FLAIR MR.
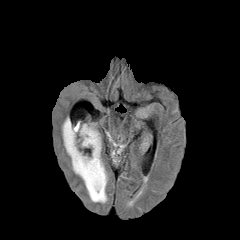
T1-weighted MRI.
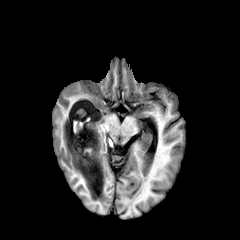
Post-contrast T1-weighted MR image.
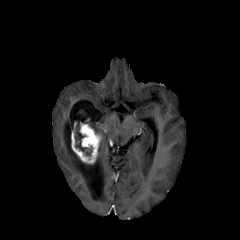
T2-weighted MRI.
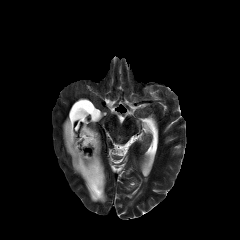
Head; Axial plane
The necrotic tumor core lies within 74:128:91:155. The enhancing tumor is located at 71:124:101:164. 2 peritumoral edema regions are bounded by 62:117:107:203, 89:123:99:133.